FLAIR MR.
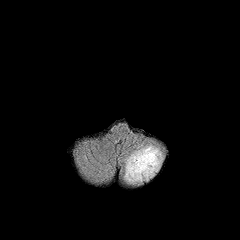
T1-weighted MR.
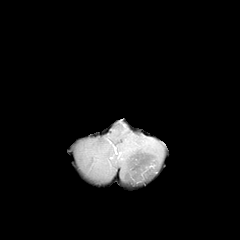
Post-contrast T1-weighted MR image.
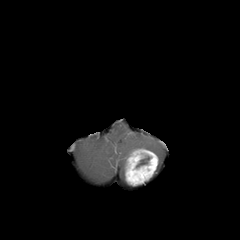
T2-weighted MRI.
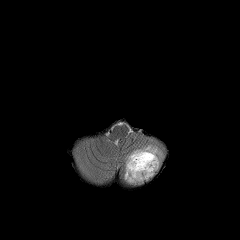
240x240 | Axial plane
peritumoral edema: box(120, 140, 163, 179) | enhancing tumor: box(125, 148, 158, 185) | necrotic tumor core: box(136, 156, 150, 167)